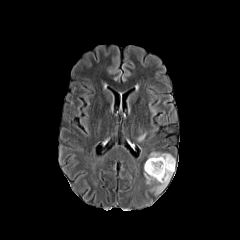
FLAIR magnetic resonance.
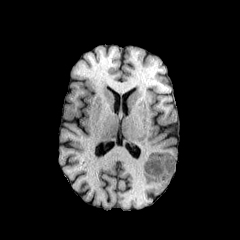
Same slice, T1-weighted MR.
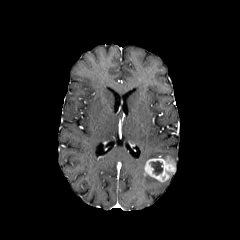
Post-contrast T1-weighted magnetic resonance.
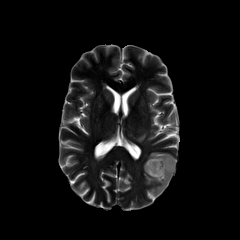
T2-weighted MR image of the same slice.
Axial view, 240x240 px
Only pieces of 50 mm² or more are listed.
necrotic tumor core: rect(151, 161, 162, 175)
peritumoral edema: rect(148, 152, 175, 162); rect(144, 174, 169, 194)
enhancing tumor: rect(144, 156, 175, 182)